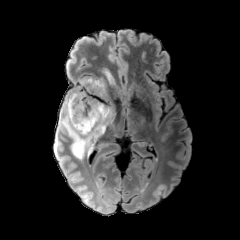
FLAIR magnetic resonance.
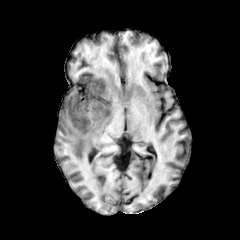
T1-weighted MR.
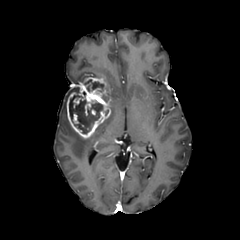
Post-contrast T1-weighted magnetic resonance.
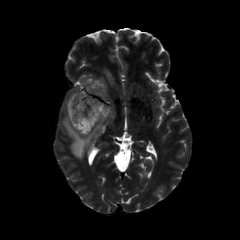
T2-weighted magnetic resonance.
240x240 px. Brain.
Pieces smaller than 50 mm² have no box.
enhancing tumor: bounding box rect(66, 77, 111, 138)
necrotic tumor core: bounding box rect(84, 79, 103, 89); rect(69, 95, 102, 133)
peritumoral edema: bounding box rect(103, 69, 114, 86); rect(59, 87, 115, 159)